FLAIR MR.
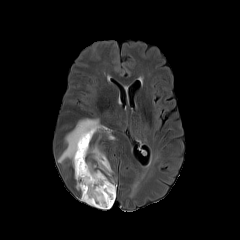
T1-weighted MR image.
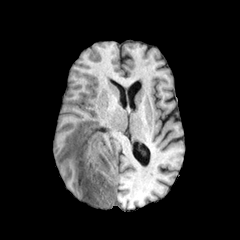
Post-contrast T1-weighted MR image.
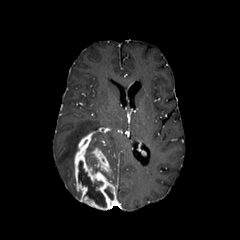
T2-weighted MR.
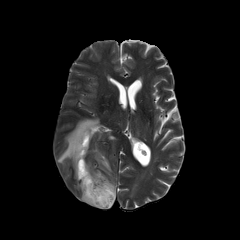
Brain
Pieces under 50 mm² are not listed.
The 3 largest necrotic tumor core regions appear at [86,155,102,172], [78,161,106,207], [104,187,113,199]. The 3 largest peritumoral edema regions appear at [57,118,106,166], [102,171,116,184], [87,142,97,154]. 2 enhancing tumor regions are bounded by [74,131,116,209], [90,147,111,175].